FLAIR magnetic resonance.
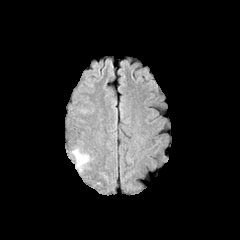
T1-weighted magnetic resonance.
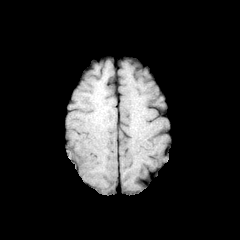
Post-contrast T1-weighted MR image.
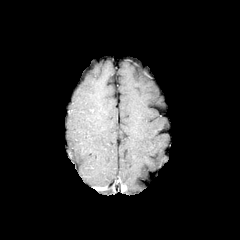
T2-weighted magnetic resonance.
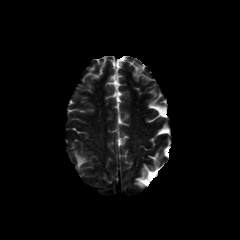
Brain.
<segmentation>
  <peritumoral_edema>73,150,88,169</peritumoral_edema>
</segmentation>